Image width 240 mm, 1.00 mm slice spacing; Slice 94 of 155; Head
FLAIR magnetic resonance.
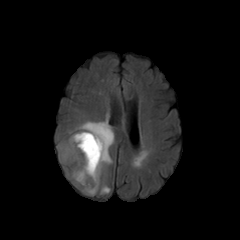
T1-weighted MRI.
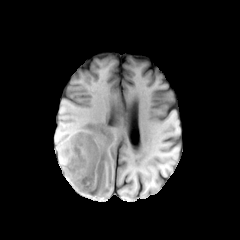
Post-contrast T1-weighted MR.
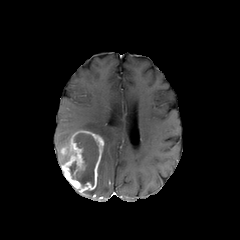
T2-weighted MR image.
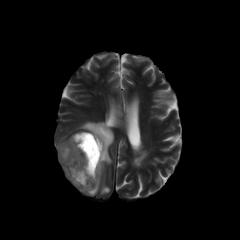
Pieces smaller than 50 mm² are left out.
Segmented structures:
* necrotic tumor core: 75:133:98:185
* peritumoral edema: 57:136:73:164, 74:113:114:195
* enhancing tumor: 61:130:104:193